240x240 | Slice index 41 | Image width 240 mm | Brain
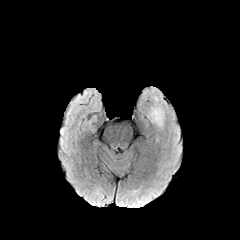
FLAIR MRI.
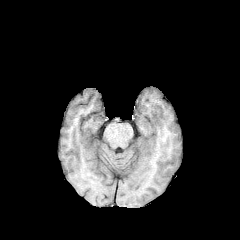
Same slice, T1-weighted magnetic resonance.
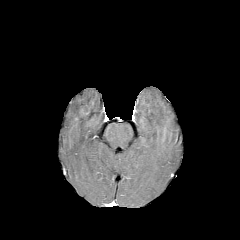
Post-contrast T1-weighted MR of the same slice.
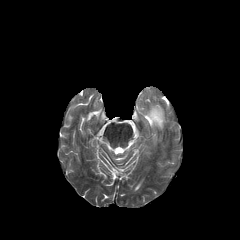
T2-weighted MR.
peritumoral edema at rect(150, 108, 162, 126)